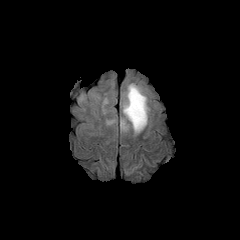
FLAIR magnetic resonance.
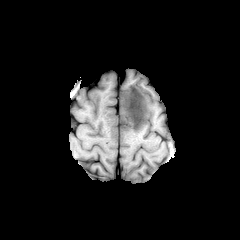
Same slice, T1-weighted magnetic resonance.
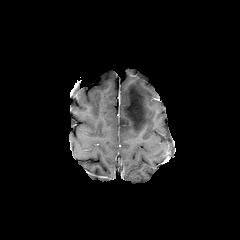
Post-contrast T1-weighted MR.
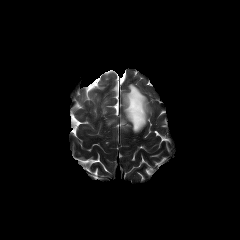
Same slice, T2-weighted magnetic resonance.
240x240 px
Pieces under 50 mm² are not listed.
peritumoral edema = [120, 83, 149, 133]